FLAIR MRI.
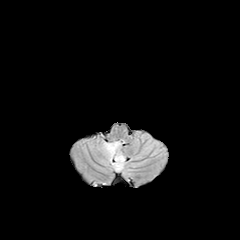
T1-weighted MR.
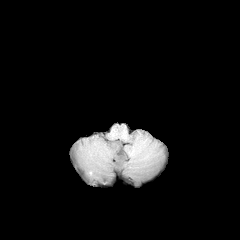
Post-contrast T1-weighted MR.
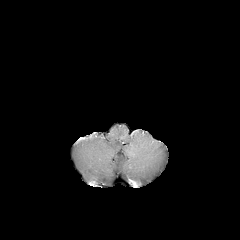
T2-weighted MRI.
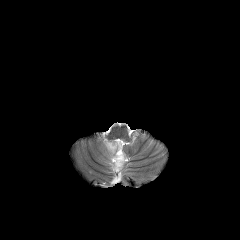
Brain, Image size 240x240
<segmentation>
  <peritumoral_edema>103:142:125:171</peritumoral_edema>
</segmentation>